Brain; Image covers 240 mm x 240 mm
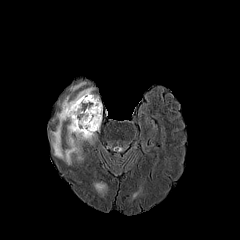
FLAIR magnetic resonance.
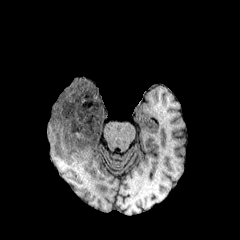
Same slice, T1-weighted MR.
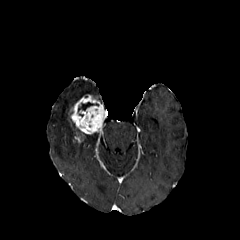
Post-contrast T1-weighted magnetic resonance of the same slice.
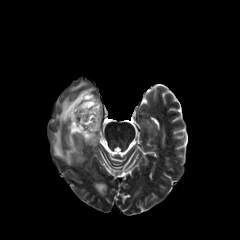
Same slice, T2-weighted magnetic resonance.
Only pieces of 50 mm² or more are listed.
<segmentation>
  <necrotic_tumor_core>l=78, t=102, r=98, b=111</necrotic_tumor_core>
  <enhancing_tumor>l=73, t=131, r=84, b=142; l=68, t=94, r=106, b=134</enhancing_tumor>
  <peritumoral_edema>l=51, t=87, r=99, b=164; l=84, t=133, r=96, b=143; l=95, t=183, r=105, b=193; l=69, t=81, r=86, b=92</peritumoral_edema>
</segmentation>